FLAIR MR image.
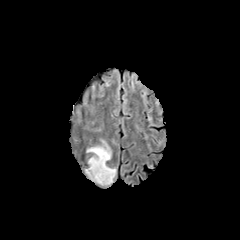
T1-weighted MRI.
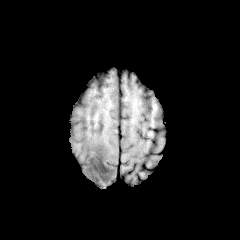
Post-contrast T1-weighted MR image.
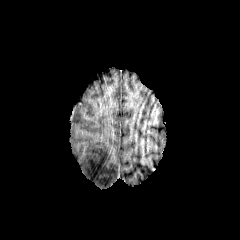
T2-weighted magnetic resonance.
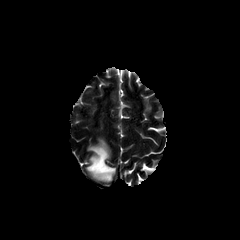
Brain | Axial plane
peritumoral edema: bounding box (85,140,116,184)